Slice 61/155; 240x240; Head
FLAIR MR.
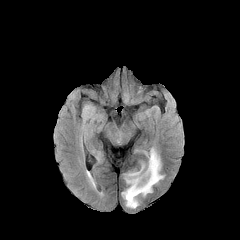
T1-weighted MRI.
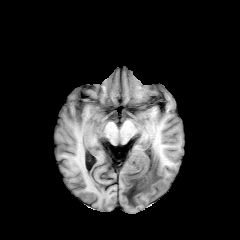
Post-contrast T1-weighted MR.
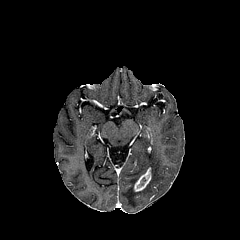
T2-weighted magnetic resonance.
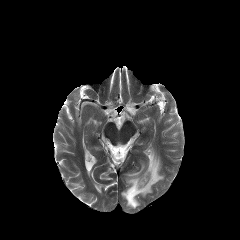
The enhancing tumor is at 133, 167, 151, 191. The peritumoral edema is bounded by 122, 148, 164, 208.